FLAIR MRI.
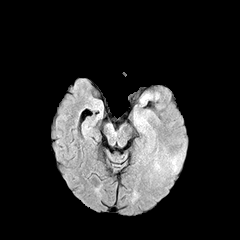
T1-weighted magnetic resonance.
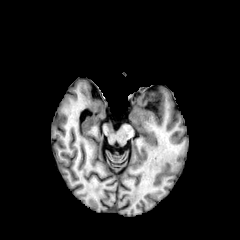
Post-contrast T1-weighted MR image.
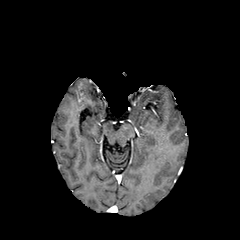
T2-weighted MR.
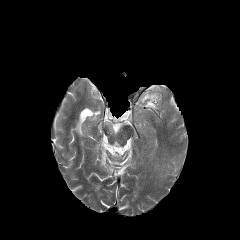
Image size 240x240 | Axial view | Brain
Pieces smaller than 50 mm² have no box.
Findings:
• peritumoral edema: (x1=140, y1=94, x2=153, y2=102)